FLAIR MR image.
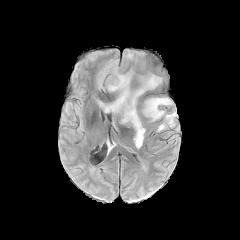
T1-weighted MR.
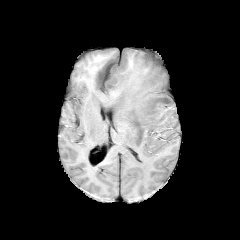
Post-contrast T1-weighted magnetic resonance.
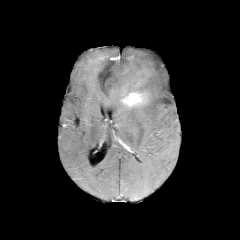
T2-weighted MRI.
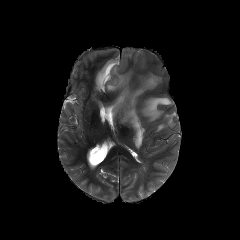
Image size 240x240 | Axial plane
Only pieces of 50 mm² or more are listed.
peritumoral_edema:
  - [142, 97, 176, 131]
  - [97, 47, 168, 148]
enhancing_tumor:
  - [121, 92, 145, 107]